Image width 240 mm, 1.00 mm slice spacing | Axial plane | Slice 65/155 | Image size 240x240
FLAIR MR image.
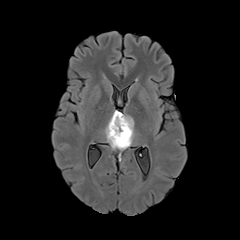
T1-weighted MRI.
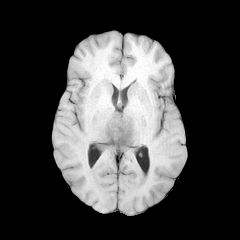
Post-contrast T1-weighted magnetic resonance.
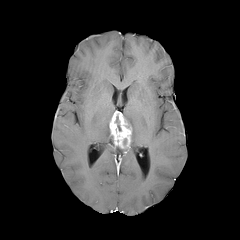
T2-weighted MR.
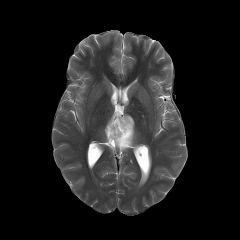
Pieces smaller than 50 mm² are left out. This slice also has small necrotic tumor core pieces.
2 peritumoral edema regions are bounded by [123,114,135,145], [104,118,128,150]. The enhancing tumor is bounded by [109,111,131,148].